Slice 95 of 155 | Brain
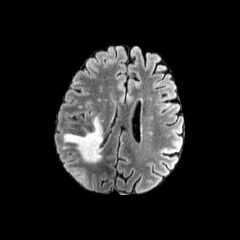
FLAIR MR image.
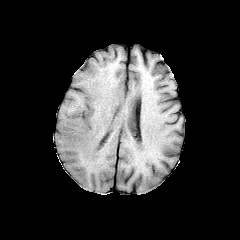
Same slice, T1-weighted MR image.
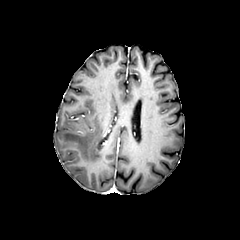
Post-contrast T1-weighted magnetic resonance of the same slice.
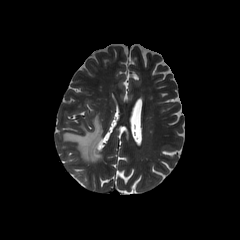
T2-weighted MR image.
peritumoral edema: 63 116 102 162